Axial view | Head | Slice 57/155
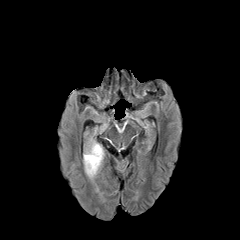
FLAIR MRI.
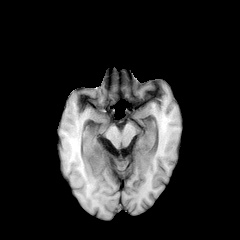
Same slice, T1-weighted magnetic resonance.
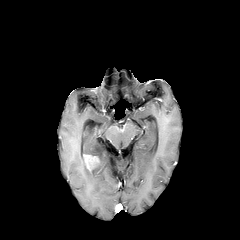
Post-contrast T1-weighted MR of the same slice.
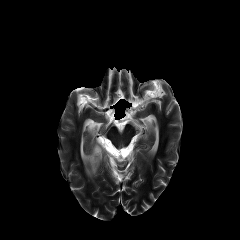
T2-weighted MRI of the same slice.
enhancing tumor at 84, 155, 99, 170
peritumoral edema at 83, 138, 104, 177